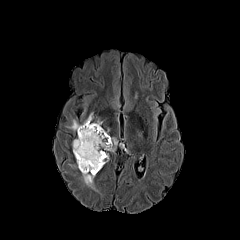
FLAIR MR image.
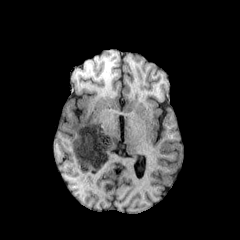
Same slice, T1-weighted MR.
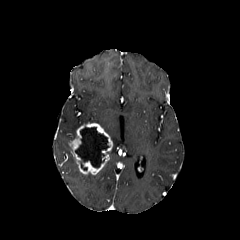
Post-contrast T1-weighted MR of the same slice.
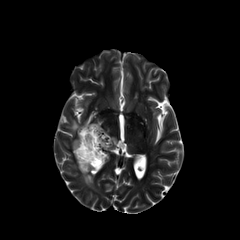
Same slice, T2-weighted MR.
Axial plane
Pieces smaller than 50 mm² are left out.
<segmentation>
  <necrotic_tumor_core>box(75, 127, 109, 170)</necrotic_tumor_core>
  <enhancing_tumor>box(70, 123, 112, 174)</enhancing_tumor>
  <peritumoral_edema>box(111, 137, 117, 150); box(83, 113, 93, 124); box(82, 173, 96, 190); box(66, 119, 81, 132)</peritumoral_edema>
</segmentation>